Axial view, Image width 240 mm, 1.00 mm slice spacing
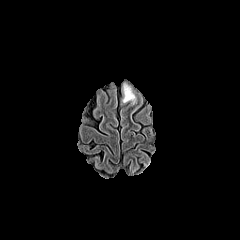
FLAIR MRI.
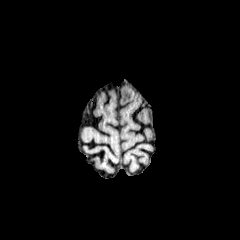
T1-weighted MR image.
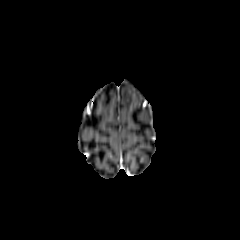
Post-contrast T1-weighted MRI.
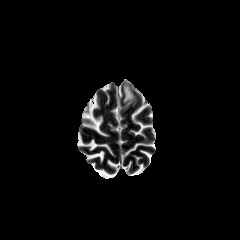
T2-weighted MRI of the same slice.
{
  "peritumoral_edema": [
    "123,84,134,102"
  ]
}